Brain; Image covers 240 mm x 240 mm
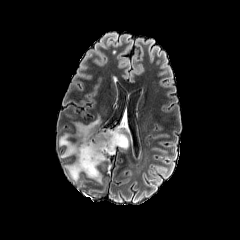
FLAIR magnetic resonance.
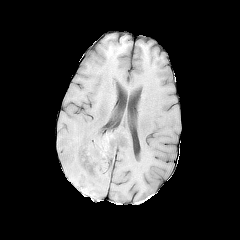
T1-weighted MR image.
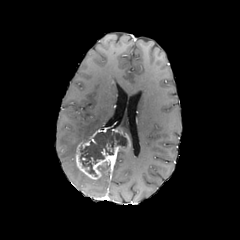
Post-contrast T1-weighted MRI.
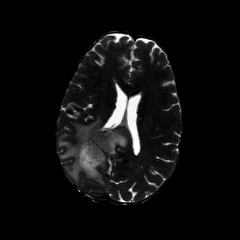
Same slice, T2-weighted MR.
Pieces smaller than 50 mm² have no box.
enhancing tumor: x1=75, y1=127, x2=130, y2=180
necrotic tumor core: x1=80, y1=129, x2=127, y2=176
peritumoral edema: x1=59, y1=115, x2=100, y2=158; x1=65, y1=160, x2=80, y2=181